Head | Axial slice
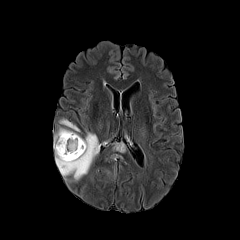
FLAIR MRI.
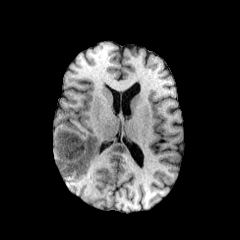
Same slice, T1-weighted MR.
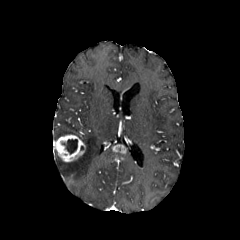
Same slice, post-contrast T1-weighted MR.
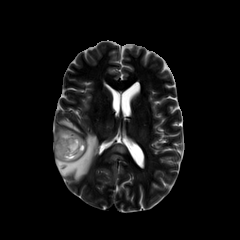
T2-weighted MR image.
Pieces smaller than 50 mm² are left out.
The 2 largest peritumoral edema regions are located at x1=59, y1=119, x2=79, y2=131; x1=54, y1=128, x2=99, y2=181. The largest necrotic tumor core region is at x1=62, y1=139, x2=77, y2=154. 2 enhancing tumor regions are located at x1=113, y1=145, x2=125, y2=152; x1=53, y1=134, x2=85, y2=162.